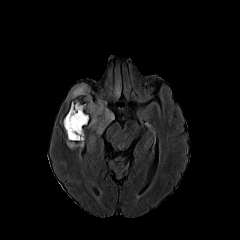
FLAIR MRI.
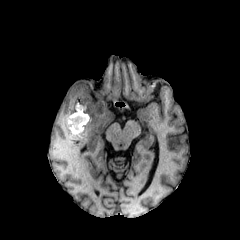
T1-weighted magnetic resonance.
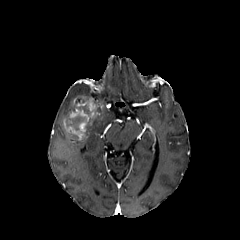
Post-contrast T1-weighted MR.
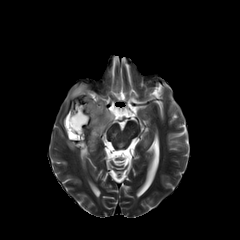
Same slice, T2-weighted MRI.
Brain
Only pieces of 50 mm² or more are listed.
{"peritumoral_edema": ["x1=64 y1=128 x2=84 y2=149", "x1=114 y1=80 x2=119 y2=96", "x1=88 y1=99 x2=114 y2=133", "x1=66 y1=84 x2=90 y2=101"], "enhancing_tumor": ["x1=63 y1=96 x2=103 y2=142"], "necrotic_tumor_core": ["x1=66 y1=114 x2=86 y2=130", "x1=73 y1=97 x2=88 y2=113"]}